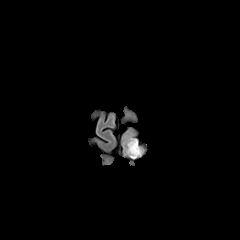
FLAIR MR.
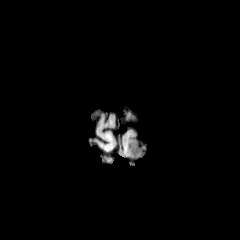
Same slice, T1-weighted MR.
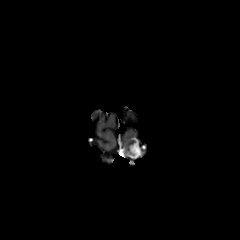
Post-contrast T1-weighted magnetic resonance of the same slice.
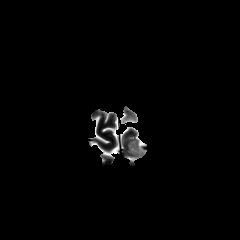
T2-weighted magnetic resonance.
Head
enhancing tumor: (x1=128, y1=138, x2=143, y2=158) | peritumoral edema: (x1=122, y1=130, x2=135, y2=153)